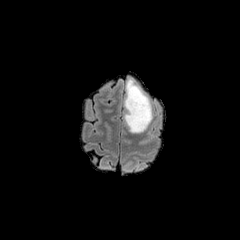
FLAIR MRI.
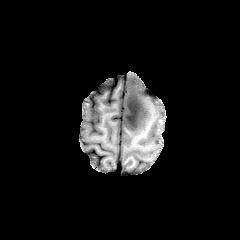
T1-weighted MR.
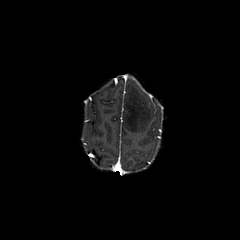
Post-contrast T1-weighted magnetic resonance.
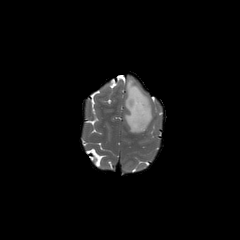
T2-weighted MR image.
Head, Axial plane
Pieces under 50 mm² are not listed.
<segmentation>
  <peritumoral_edema>l=124, t=79, r=152, b=132</peritumoral_edema>
  <necrotic_tumor_core>l=125, t=103, r=138, b=129</necrotic_tumor_core>
</segmentation>